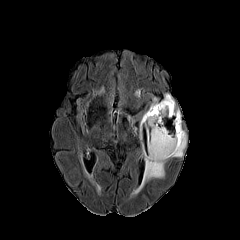
FLAIR MR.
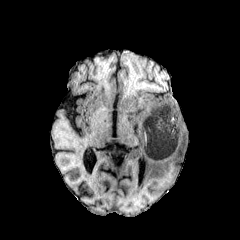
T1-weighted MR.
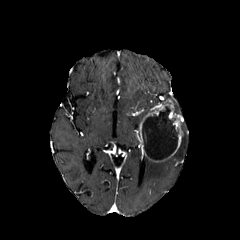
Post-contrast T1-weighted MR image.
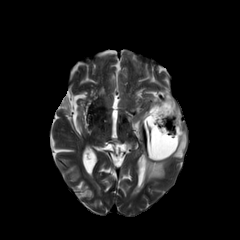
T2-weighted MRI.
Head
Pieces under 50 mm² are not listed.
necrotic tumor core: box(142, 106, 178, 159)
peritumoral edema: box(141, 98, 160, 120); box(161, 94, 180, 112); box(139, 156, 167, 189); box(171, 130, 186, 157)
enhancing tumor: box(138, 99, 183, 162)